FLAIR MR.
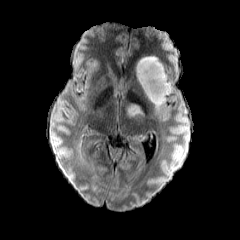
T1-weighted MRI.
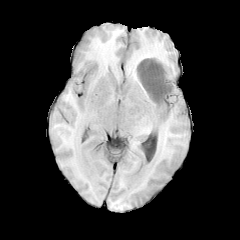
Post-contrast T1-weighted MRI.
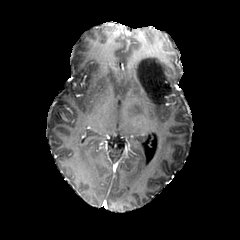
T2-weighted magnetic resonance.
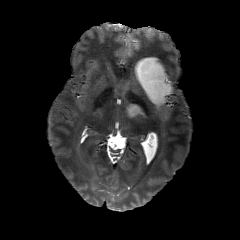
Axial view.
peritumoral edema: bounding box region(127, 103, 144, 115); region(135, 56, 172, 107)